240x240 px
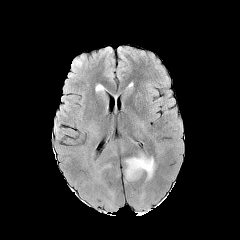
FLAIR MRI.
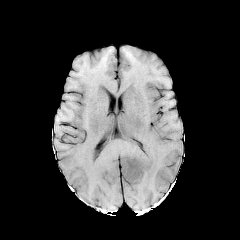
Same slice, T1-weighted MR image.
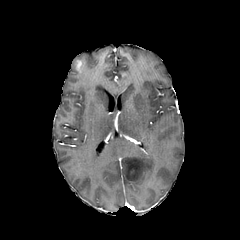
Post-contrast T1-weighted magnetic resonance.
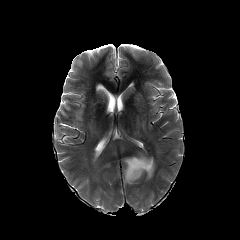
T2-weighted magnetic resonance.
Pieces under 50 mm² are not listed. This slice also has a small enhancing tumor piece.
* peritumoral edema: [125,154,154,181]